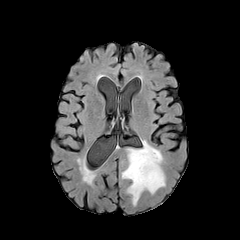
FLAIR MRI.
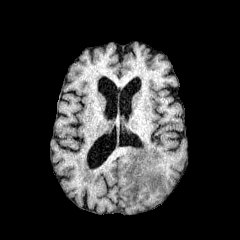
T1-weighted MR image.
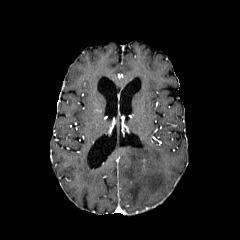
Post-contrast T1-weighted magnetic resonance.
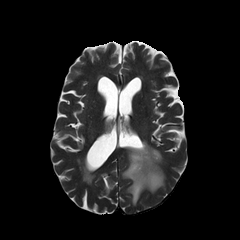
Same slice, T2-weighted MR image.
The peritumoral edema is located at x1=122, y1=140, x2=165, y2=205.